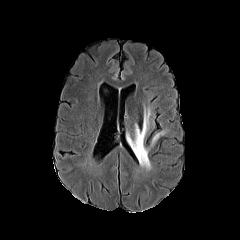
FLAIR magnetic resonance.
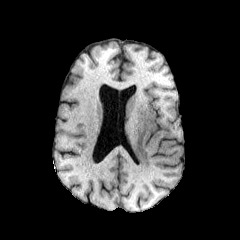
T1-weighted MRI.
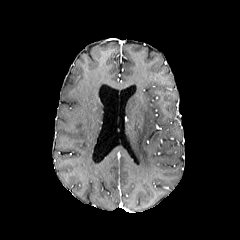
Same slice, post-contrast T1-weighted MR image.
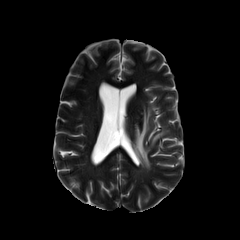
T2-weighted MRI.
Head. Axial plane.
2 peritumoral edema regions appear at rect(151, 131, 164, 145); rect(128, 107, 150, 169).